Brain. Slice index 72.
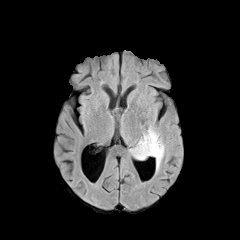
FLAIR MR.
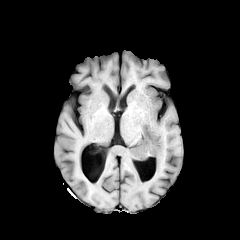
T1-weighted MRI.
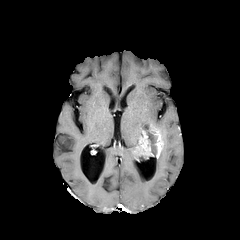
Same slice, post-contrast T1-weighted MR image.
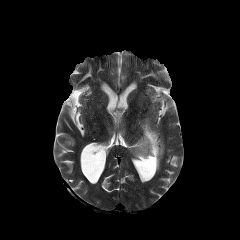
T2-weighted MRI.
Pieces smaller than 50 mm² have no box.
enhancing tumor: (150,126,163,158), (133,131,152,158) | peritumoral edema: (141,122,154,130), (129,148,139,160), (156,143,164,171) | necrotic tumor core: (146,129,156,154)